Axial plane, Head, 240x240 px, Image width 240 mm, 1.00 mm slice spacing
FLAIR MR.
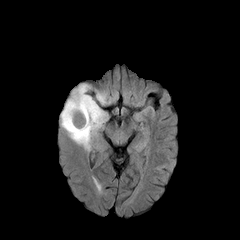
T1-weighted MR.
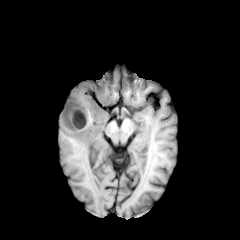
Post-contrast T1-weighted MR image.
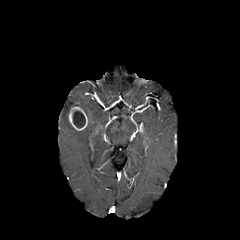
T2-weighted magnetic resonance.
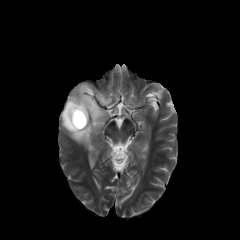
The peritumoral edema lies within x1=60 y1=83 x2=115 y2=151. The enhancing tumor appears at x1=67 y1=102 x2=88 y2=130. The necrotic tumor core appears at x1=73 y1=111 x2=85 y2=127.